Axial plane
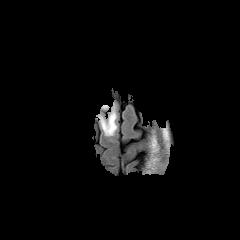
FLAIR magnetic resonance.
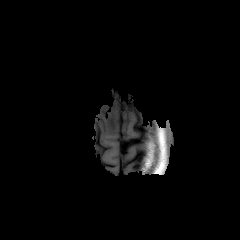
T1-weighted magnetic resonance.
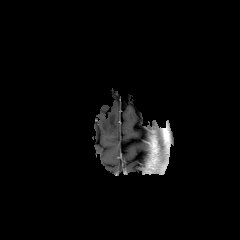
Same slice, post-contrast T1-weighted MR.
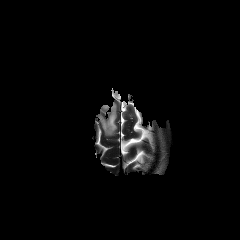
T2-weighted magnetic resonance of the same slice.
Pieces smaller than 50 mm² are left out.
peritumoral edema: l=96, t=102, r=117, b=136